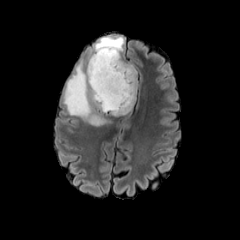
FLAIR MRI.
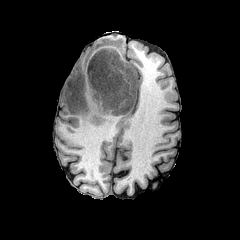
T1-weighted magnetic resonance of the same slice.
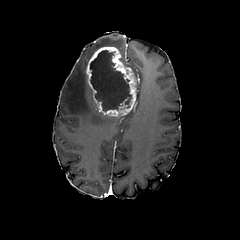
Same slice, post-contrast T1-weighted MR image.
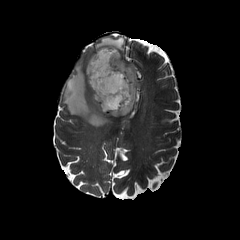
Same slice, T2-weighted MR.
240x240. Head. Axial slice.
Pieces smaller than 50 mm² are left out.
The largest enhancing tumor region is bounded by 86:46:137:116. The largest peritumoral edema region is bounded by 63:36:137:126. The necrotic tumor core is bounded by 90:50:131:112.